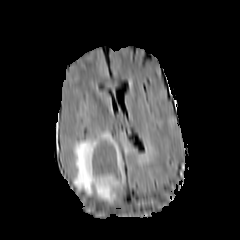
FLAIR MR image.
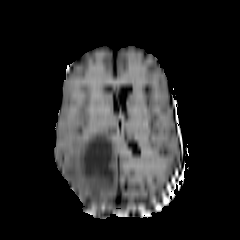
Same slice, T1-weighted MRI.
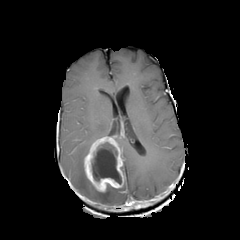
Post-contrast T1-weighted MRI.
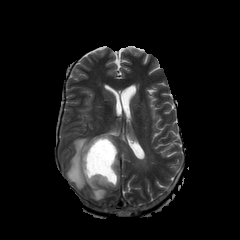
T2-weighted MR image.
Head. 240x240.
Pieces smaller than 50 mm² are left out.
necrotic tumor core: bounding box box(92, 142, 121, 184)
enhancing tumor: bounding box box(84, 136, 124, 192)
peritumoral edema: bounding box box(73, 132, 115, 201); box(122, 137, 128, 154)